240x240
FLAIR MR.
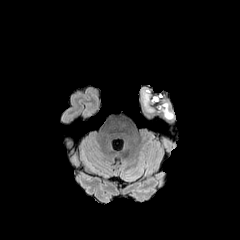
T1-weighted MR image.
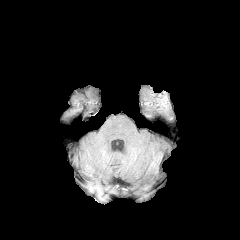
Post-contrast T1-weighted MRI.
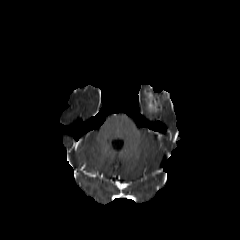
T2-weighted MR.
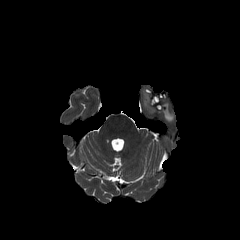
enhancing tumor: bounding box bbox(144, 89, 161, 112)
peritumoral edema: bounding box bbox(157, 102, 173, 118)